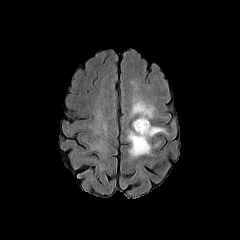
FLAIR magnetic resonance.
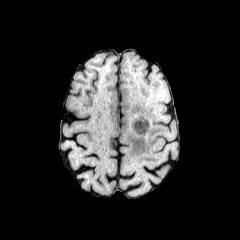
T1-weighted MRI.
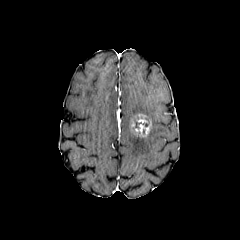
Same slice, post-contrast T1-weighted MR image.
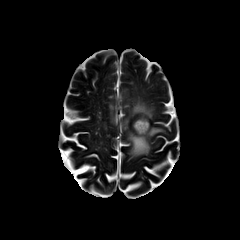
Same slice, T2-weighted MR image.
Head. 240x240.
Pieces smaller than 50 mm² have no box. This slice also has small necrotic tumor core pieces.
{"enhancing_tumor": ["131, 113, 151, 137"], "peritumoral_edema": ["130, 97, 154, 120", "128, 126, 165, 157"]}